FLAIR MR image.
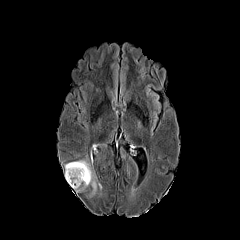
T1-weighted MRI.
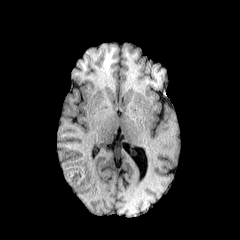
Post-contrast T1-weighted MRI.
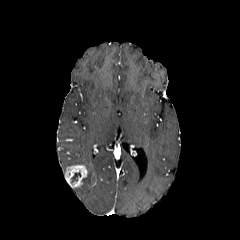
T2-weighted MRI.
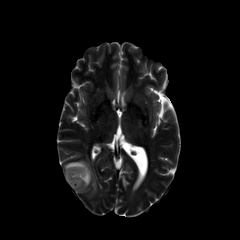
240x240, Head
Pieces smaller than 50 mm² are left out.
Findings:
• necrotic tumor core: rect(71, 172, 80, 183)
• peritumoral edema: rect(64, 160, 96, 195)
• enhancing tumor: rect(65, 165, 87, 188)